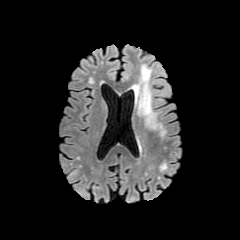
FLAIR MR.
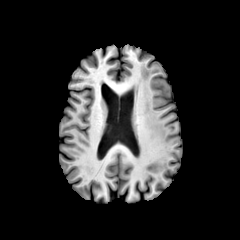
T1-weighted MR image of the same slice.
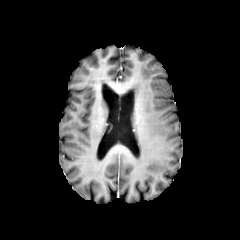
Post-contrast T1-weighted MR image of the same slice.
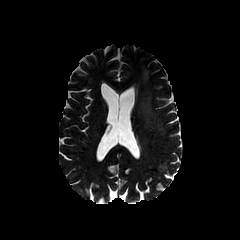
T2-weighted magnetic resonance of the same slice.
Brain
{
  "peritumoral_edema": [
    "(138,65,165,135)"
  ]
}